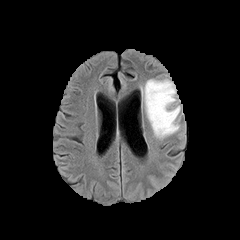
FLAIR MR image.
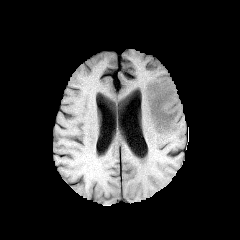
T1-weighted MRI.
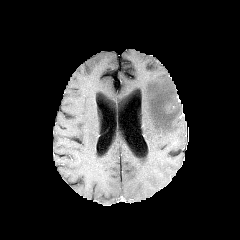
Same slice, post-contrast T1-weighted MR image.
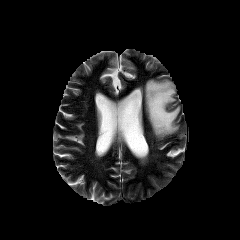
T2-weighted MR of the same slice.
240x240
peritumoral edema at (left=141, top=79, right=180, bottom=138)